Slice index 108, Axial plane, 240x240 px, Brain
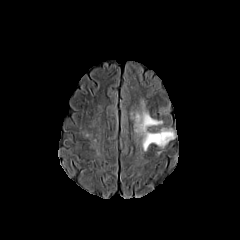
FLAIR MRI.
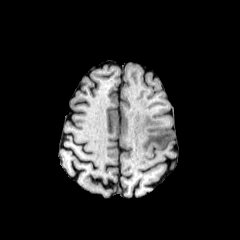
T1-weighted MR image.
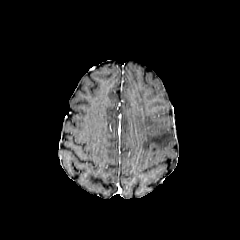
Post-contrast T1-weighted MR.
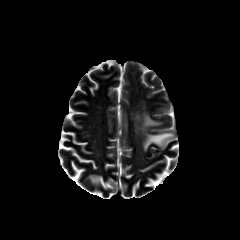
Same slice, T2-weighted MR.
peritumoral edema — x1=135, y1=101, x2=174, y2=151; x1=159, y1=107, x2=169, y2=112